Axial view | Brain
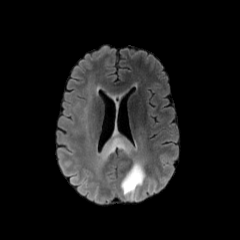
FLAIR MRI.
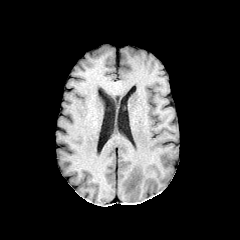
T1-weighted MRI.
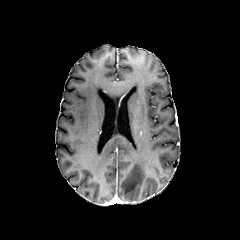
Post-contrast T1-weighted MR image of the same slice.
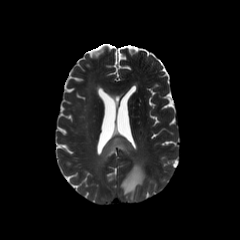
T2-weighted MRI.
peritumoral_edema:
  - <box>138,131,144,144</box>
  - <box>102,122,147,200</box>